Brain
FLAIR magnetic resonance.
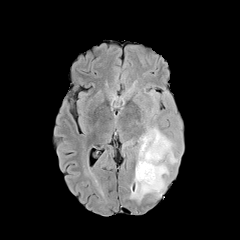
T1-weighted magnetic resonance.
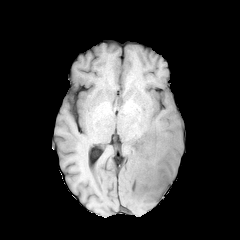
Post-contrast T1-weighted MR.
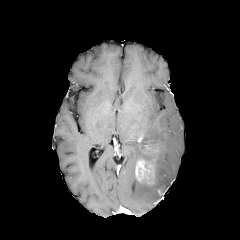
T2-weighted MR.
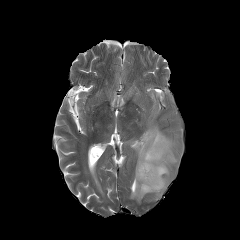
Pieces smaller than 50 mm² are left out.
enhancing tumor: bounding box <box>135,159,155,184</box>
peritumoral edema: bounding box <box>130,125,178,201</box>